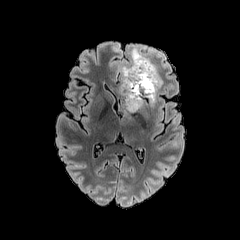
FLAIR MR.
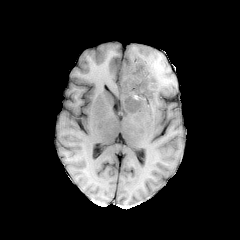
T1-weighted MR image.
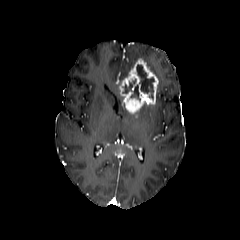
Post-contrast T1-weighted magnetic resonance of the same slice.
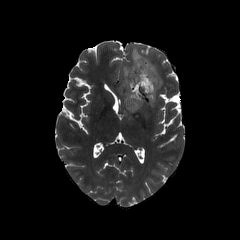
Same slice, T2-weighted MRI.
240x240; Axial slice
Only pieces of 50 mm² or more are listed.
The largest peritumoral edema region lies within box=[120, 45, 162, 93]. The enhancing tumor is at box=[119, 58, 158, 113]. The 3 largest necrotic tumor core regions are located at box=[136, 64, 154, 98]; box=[123, 82, 132, 93]; box=[131, 85, 140, 100].